Axial plane. Slice index 109.
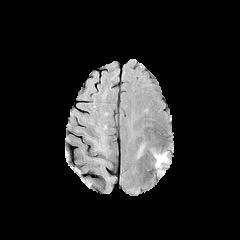
FLAIR MR.
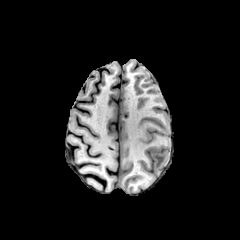
T1-weighted MR.
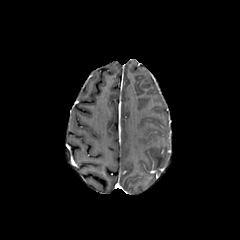
Post-contrast T1-weighted MRI of the same slice.
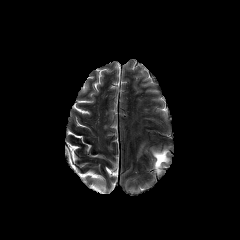
Same slice, T2-weighted MR.
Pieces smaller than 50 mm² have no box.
peritumoral_edema:
  - box(153, 150, 168, 171)